FLAIR MRI.
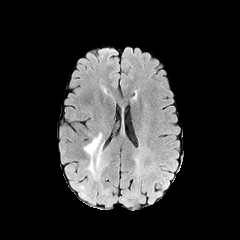
T1-weighted MR.
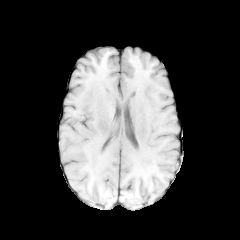
Post-contrast T1-weighted MR.
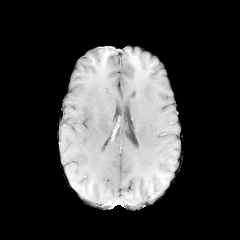
T2-weighted MR.
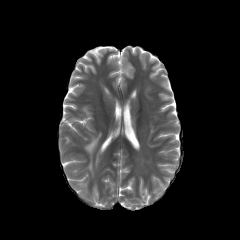
Axial slice
Findings:
• peritumoral edema: x1=84 y1=132 x2=102 y2=177